FLAIR magnetic resonance.
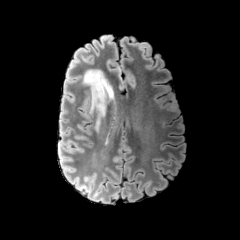
T1-weighted magnetic resonance.
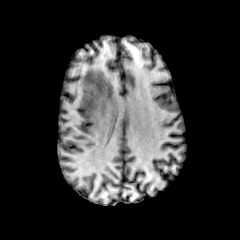
Post-contrast T1-weighted MR.
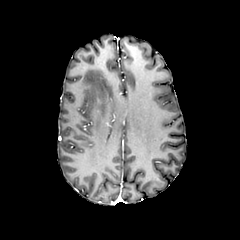
T2-weighted MR image.
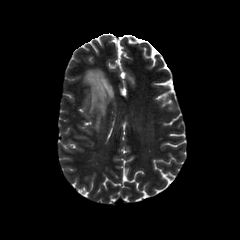
240x240 px.
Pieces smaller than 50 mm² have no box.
{
  "enhancing_tumor": [
    "91 99 102 120"
  ],
  "peritumoral_edema": [
    "82 69 114 117"
  ]
}